Image size 240x240
FLAIR MR.
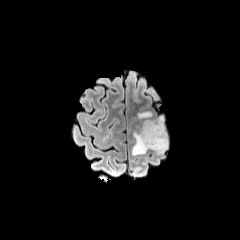
T1-weighted MRI.
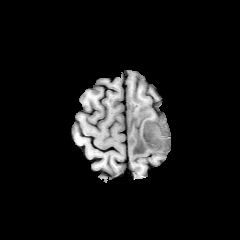
Post-contrast T1-weighted magnetic resonance.
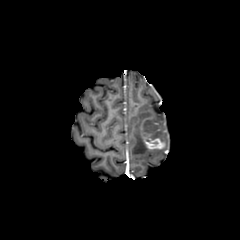
T2-weighted MR image.
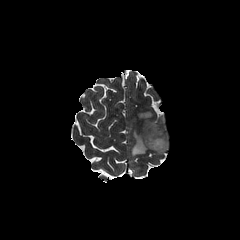
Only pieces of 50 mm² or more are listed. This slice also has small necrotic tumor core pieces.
enhancing tumor: <bbox>144, 134, 166, 149</bbox> | peritumoral edema: <bbox>131, 111, 167, 155</bbox>